FLAIR MR.
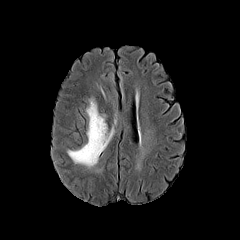
T1-weighted MR image.
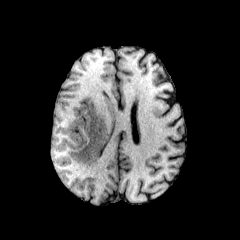
Post-contrast T1-weighted MRI.
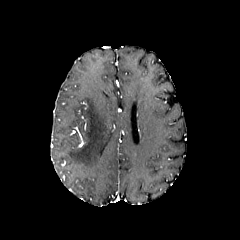
T2-weighted MR.
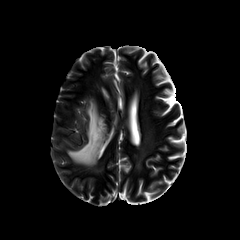
<segmentation>
  <peritumoral_edema>(68, 99, 113, 166)</peritumoral_edema>
</segmentation>